FLAIR MRI.
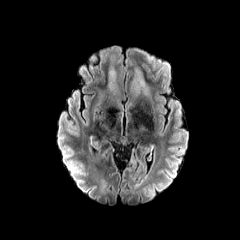
T1-weighted MRI.
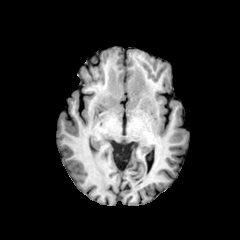
Post-contrast T1-weighted magnetic resonance.
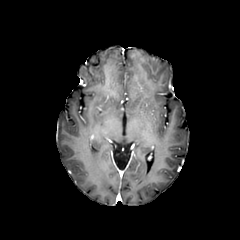
T2-weighted MRI.
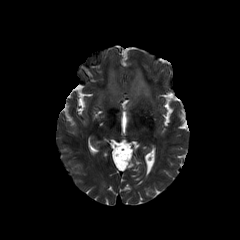
Head; Axial slice; 240x240
peritumoral edema: l=109, t=69, r=118, b=94; l=132, t=69, r=151, b=97